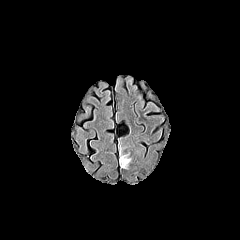
FLAIR MR.
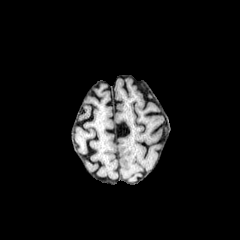
T1-weighted MR.
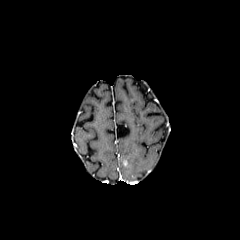
Post-contrast T1-weighted MRI of the same slice.
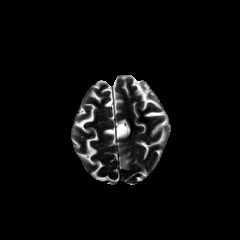
T2-weighted MR of the same slice.
Head; Image size 240x240; Axial slice
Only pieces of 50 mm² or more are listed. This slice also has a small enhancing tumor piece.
peritumoral edema — (119, 147, 130, 168)